Slice index 116; Head
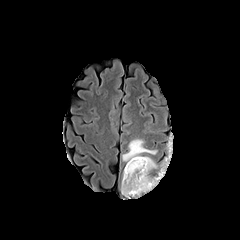
FLAIR magnetic resonance.
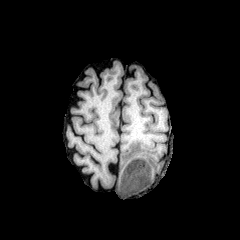
T1-weighted MR.
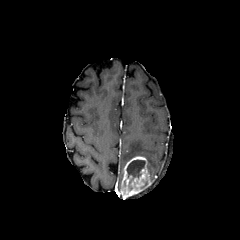
Post-contrast T1-weighted MR.
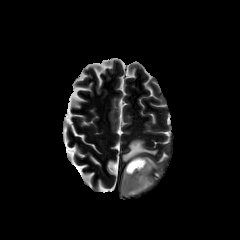
T2-weighted magnetic resonance of the same slice.
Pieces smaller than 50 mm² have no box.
2 peritumoral edema regions appear at (left=145, top=156, right=157, bottom=170), (left=122, top=139, right=157, bottom=161). The enhancing tumor is located at (left=120, top=156, right=153, bottom=198). The largest necrotic tumor core region lies within (left=127, top=160, right=145, bottom=177).